Axial slice
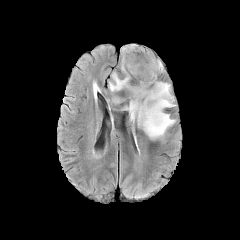
FLAIR MR image.
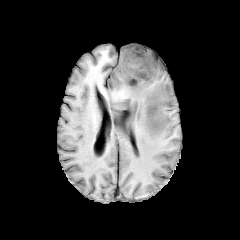
T1-weighted magnetic resonance.
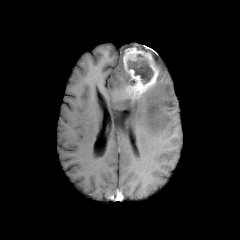
Post-contrast T1-weighted MR image of the same slice.
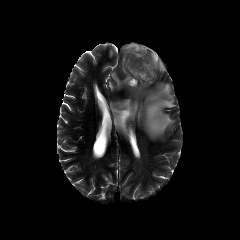
T2-weighted MRI of the same slice.
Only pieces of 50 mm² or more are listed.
The largest enhancing tumor region is located at box=[123, 44, 159, 98]. The 2 largest necrotic tumor core regions appear at box=[124, 60, 153, 85]; box=[137, 45, 156, 60]. The 2 largest peritumoral edema regions are bounded by box=[157, 57, 164, 73]; box=[99, 57, 175, 138].